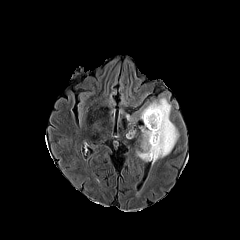
FLAIR MRI.
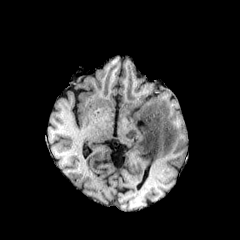
Same slice, T1-weighted MR image.
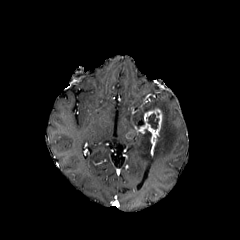
Post-contrast T1-weighted MR image.
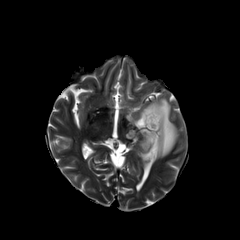
T2-weighted MRI of the same slice.
Brain. 240x240 px.
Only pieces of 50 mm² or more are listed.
Annotated regions:
* necrotic tumor core: 141:129:151:143, 146:113:159:129
* peritumoral edema: 136:98:178:164
* enhancing tumor: 140:108:162:154, 126:129:136:138